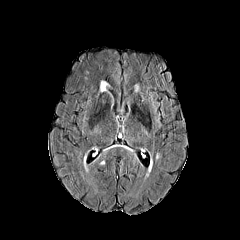
FLAIR MR image.
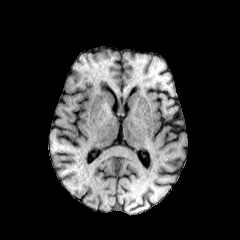
T1-weighted magnetic resonance.
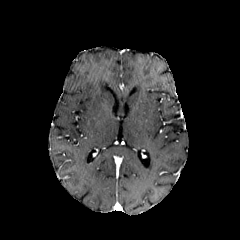
Post-contrast T1-weighted MR of the same slice.
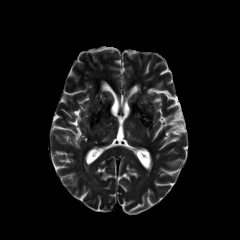
Same slice, T2-weighted MR.
Head, Axial plane
{"peritumoral_edema": ["100 81 108 91"]}